FLAIR MR image.
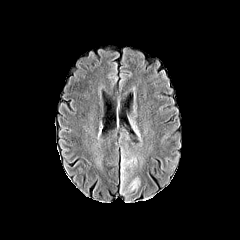
T1-weighted MRI.
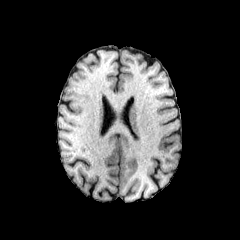
Post-contrast T1-weighted MRI.
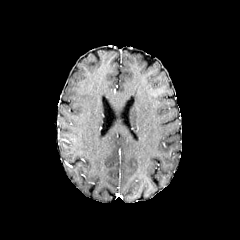
T2-weighted MRI.
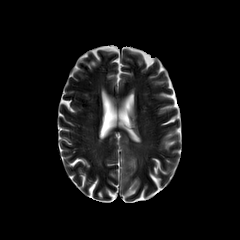
Brain. 240x240 px.
2 peritumoral edema regions are located at (128, 175, 140, 193), (121, 155, 136, 175).